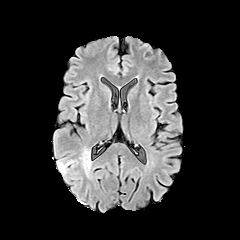
FLAIR magnetic resonance.
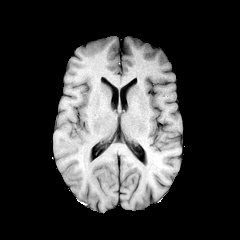
T1-weighted MRI.
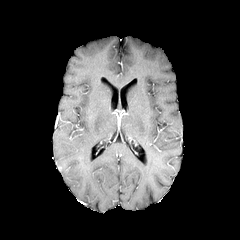
Post-contrast T1-weighted MR image.
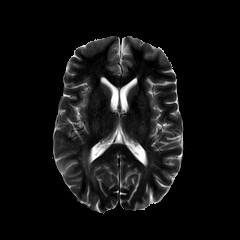
T2-weighted MR image of the same slice.
Axial plane, Brain
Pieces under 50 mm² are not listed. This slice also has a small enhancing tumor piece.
2 peritumoral edema regions are bounded by left=82, top=152, right=91, bottom=172; left=57, top=161, right=73, bottom=175.